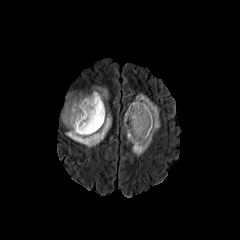
FLAIR MR image.
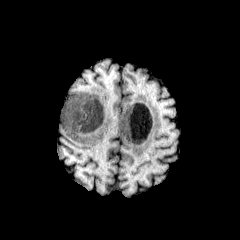
T1-weighted MR image of the same slice.
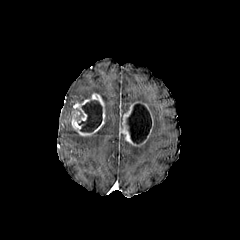
Post-contrast T1-weighted MR image.
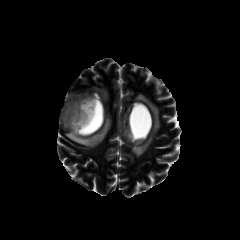
T2-weighted MRI.
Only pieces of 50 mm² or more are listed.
<segmentation>
  <necrotic_tumor_core><box>78,100,102,132</box>, <box>127,103,151,143</box></necrotic_tumor_core>
  <peritumoral_edema><box>93,87,107,100</box>, <box>63,102,74,119</box>, <box>132,93,160,156</box>, <box>65,113,111,147</box></peritumoral_edema>
  <enhancing_tumor><box>63,93,105,136</box>, <box>121,101,153,146</box></enhancing_tumor>
</segmentation>